FLAIR magnetic resonance.
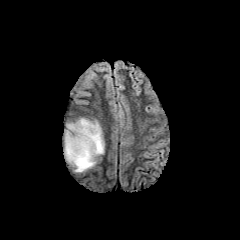
T1-weighted MR image.
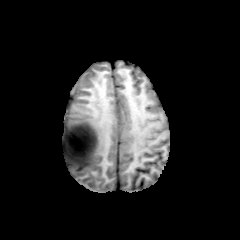
Post-contrast T1-weighted MR.
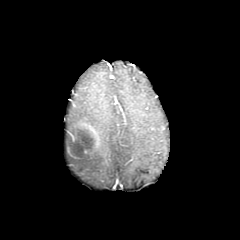
T2-weighted MRI.
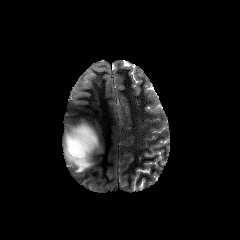
<segmentation>
  <peritumoral_edema>63,118,104,172</peritumoral_edema>
  <necrotic_tumor_core>69,128,95,157</necrotic_tumor_core>
  <enhancing_tumor>65,124,99,160</enhancing_tumor>
</segmentation>